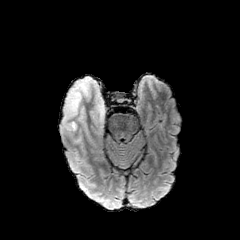
FLAIR magnetic resonance.
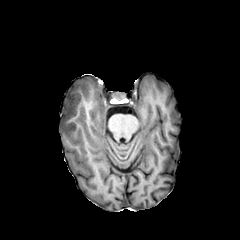
T1-weighted MR image.
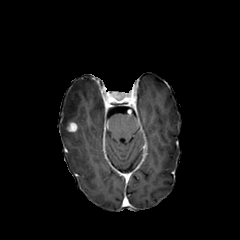
Post-contrast T1-weighted MRI.
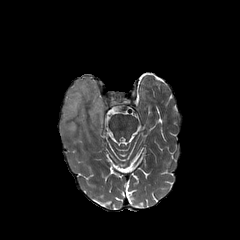
T2-weighted magnetic resonance.
Image size 240x240 | Brain | Axial slice
The peritumoral edema is bounded by 61 77 105 142. The enhancing tumor is located at 67 122 76 131.